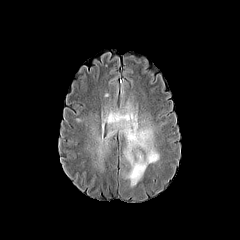
FLAIR MRI.
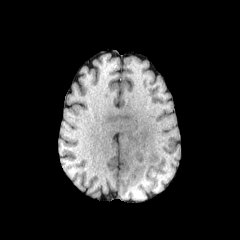
T1-weighted MR.
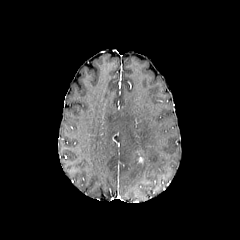
Same slice, post-contrast T1-weighted MR.
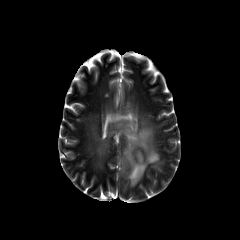
Same slice, T2-weighted MR image.
240x240 px. Axial plane.
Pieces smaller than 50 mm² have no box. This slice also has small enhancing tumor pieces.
The largest peritumoral edema region is bounded by box=[82, 89, 159, 188].